FLAIR MR.
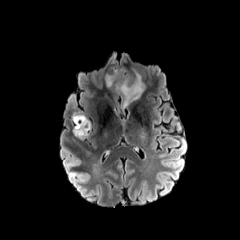
T1-weighted magnetic resonance.
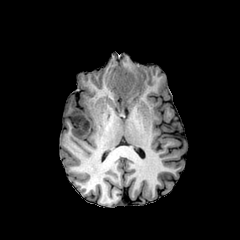
Post-contrast T1-weighted magnetic resonance.
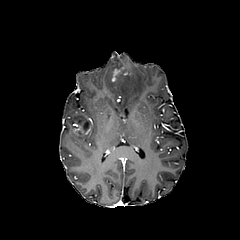
T2-weighted MRI.
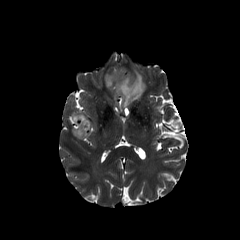
Brain; Axial slice; 240x240
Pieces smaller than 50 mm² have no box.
- necrotic tumor core: 75,116,90,131
- enhancing tumor: 73,112,90,136; 111,67,124,81
- peritumoral edema: 115,72,145,107; 105,75,114,87